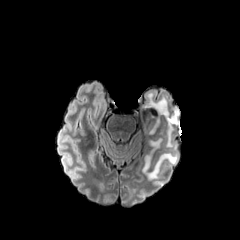
FLAIR magnetic resonance.
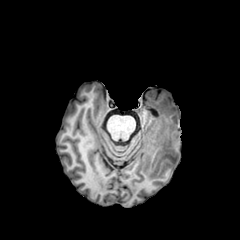
Same slice, T1-weighted MRI.
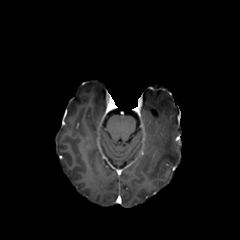
Post-contrast T1-weighted MR.
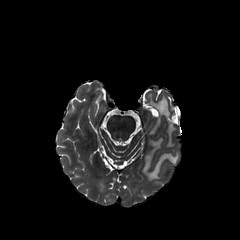
Same slice, T2-weighted MR.
Brain, 240x240
peritumoral_edema:
  - [144,93,178,147]
  - [142,138,178,179]